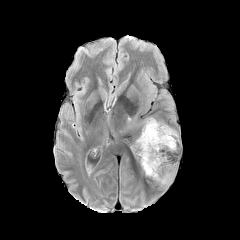
FLAIR MRI.
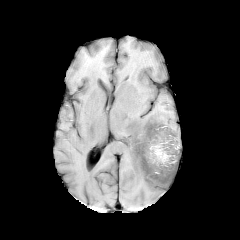
T1-weighted MR.
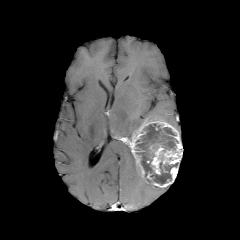
Post-contrast T1-weighted MR image.
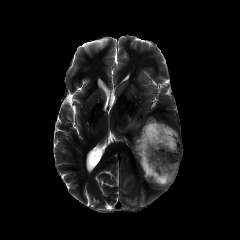
T2-weighted MR of the same slice.
Axial slice. Brain.
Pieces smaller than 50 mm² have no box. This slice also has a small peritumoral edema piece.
enhancing tumor: region(128, 118, 182, 187) | necrotic tumor core: region(136, 124, 177, 184)